Slice 115 of 155; Axial slice; Brain
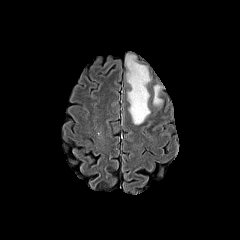
FLAIR MR image.
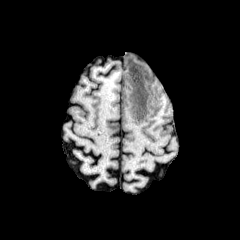
Same slice, T1-weighted MR image.
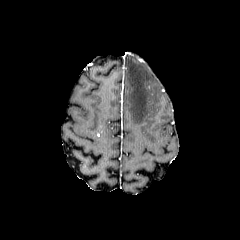
Post-contrast T1-weighted MR image.
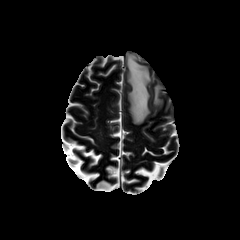
T2-weighted magnetic resonance.
2 peritumoral edema regions are located at [153, 85, 162, 104], [126, 55, 150, 124].